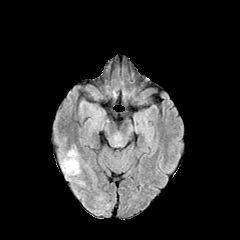
FLAIR magnetic resonance.
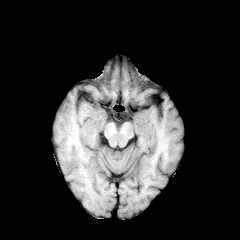
T1-weighted MRI of the same slice.
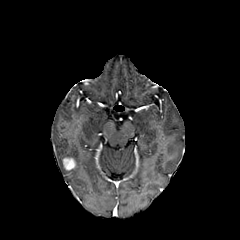
Same slice, post-contrast T1-weighted magnetic resonance.
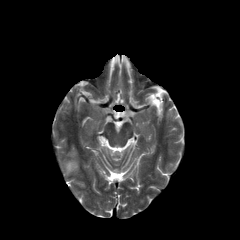
Same slice, T2-weighted magnetic resonance.
Axial plane. 240x240. Brain.
enhancing tumor: bounding box box=[63, 158, 75, 170]
peritumoral edema: bounding box box=[60, 149, 80, 178]